Axial view; Slice 75 of 155
FLAIR MRI.
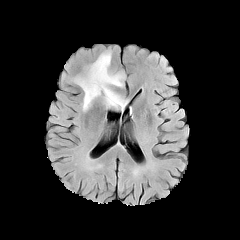
T1-weighted magnetic resonance.
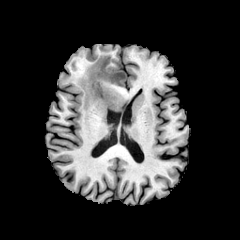
Post-contrast T1-weighted MRI.
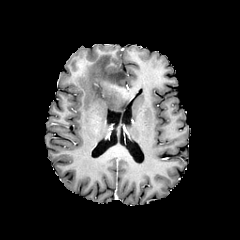
T2-weighted MRI.
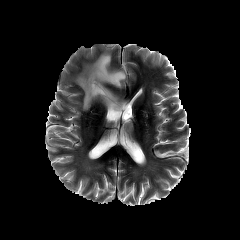
peritumoral edema: bounding box {"x1": 74, "y1": 52, "x2": 127, "y2": 111}